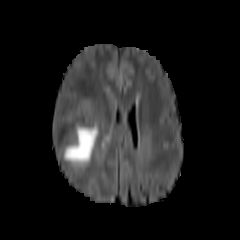
FLAIR magnetic resonance.
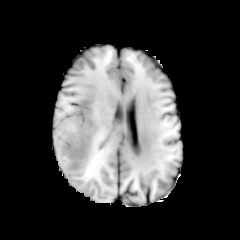
T1-weighted MRI of the same slice.
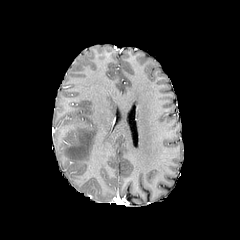
Post-contrast T1-weighted MR.
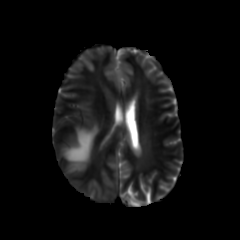
T2-weighted magnetic resonance of the same slice.
Axial view. Image size 240x240.
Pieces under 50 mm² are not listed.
<segmentation>
  <peritumoral_edema>x1=63, y1=123, x2=97, y2=163</peritumoral_edema>
</segmentation>